FLAIR magnetic resonance.
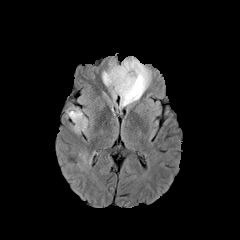
T1-weighted MR.
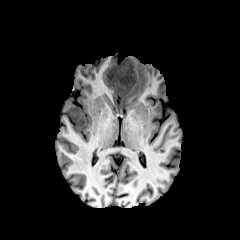
Post-contrast T1-weighted MRI.
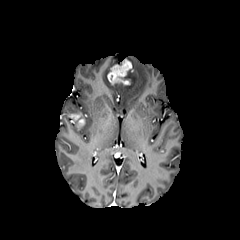
T2-weighted MR image.
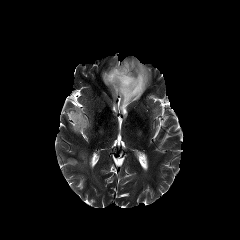
Axial view | 240x240 px
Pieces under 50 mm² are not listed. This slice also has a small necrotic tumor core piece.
2 enhancing tumor regions are bounded by [107,59,132,85], [69,112,85,129]. The 2 largest peritumoral edema regions appear at [102,57,150,108], [73,115,87,131].